FLAIR MR.
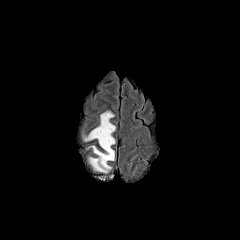
T1-weighted MRI.
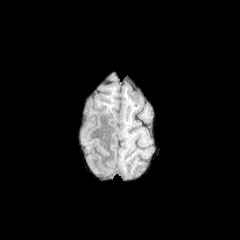
Post-contrast T1-weighted magnetic resonance.
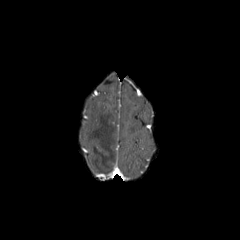
T2-weighted MRI.
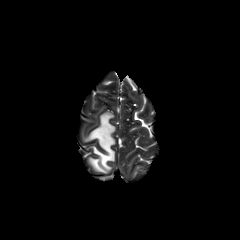
Head
<segmentation>
  <peritumoral_edema>[84,111,115,172]</peritumoral_edema>
</segmentation>